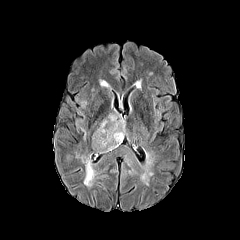
FLAIR MR.
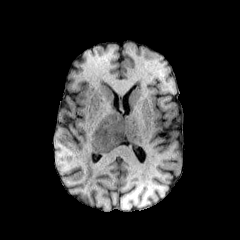
T1-weighted MRI.
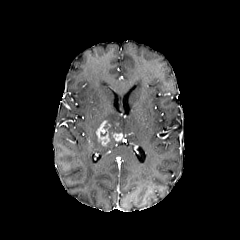
Same slice, post-contrast T1-weighted MR.
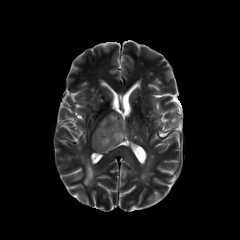
T2-weighted magnetic resonance of the same slice.
240x240 px
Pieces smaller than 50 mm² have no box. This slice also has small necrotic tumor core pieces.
enhancing tumor = [111, 132, 122, 141], [96, 121, 110, 145]
peritumoral edema = [90, 123, 122, 154], [102, 109, 125, 137], [81, 156, 96, 186]